Image width 240 mm; Image size 240x240; Axial slice; Head
FLAIR MR.
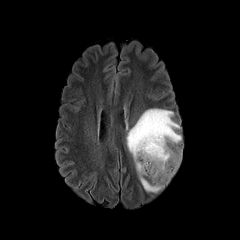
T1-weighted MRI.
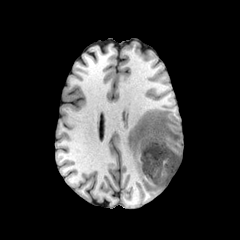
Post-contrast T1-weighted MR.
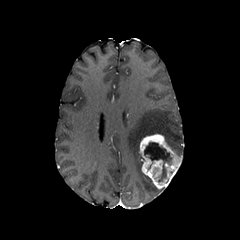
T2-weighted MR image.
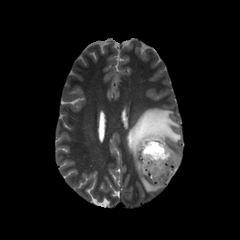
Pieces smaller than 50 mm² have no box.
The enhancing tumor is located at 139:134:181:189. The largest peritumoral edema region lies within 126:108:181:192. 2 necrotic tumor core regions are bounded by 158:165:166:181, 144:142:171:163.